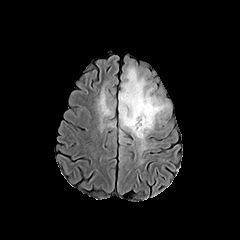
FLAIR MRI.
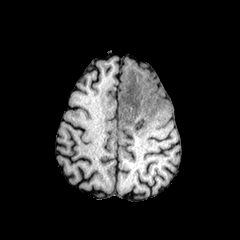
T1-weighted MR image.
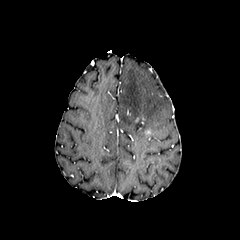
Post-contrast T1-weighted MRI of the same slice.
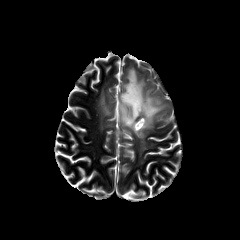
T2-weighted MR.
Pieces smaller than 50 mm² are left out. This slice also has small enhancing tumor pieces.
necrotic tumor core: bounding box <box>126,90,136,115</box>, <box>135,118,144,129</box>
peritumoral edema: bounding box <box>98,89,112,128</box>, <box>118,66,168,142</box>